240x240 px.
FLAIR magnetic resonance.
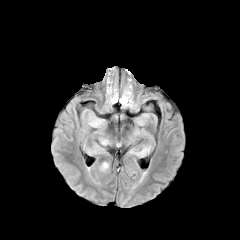
T1-weighted MRI.
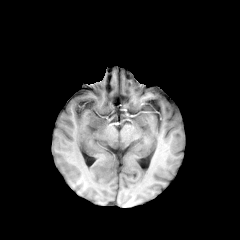
Post-contrast T1-weighted MRI.
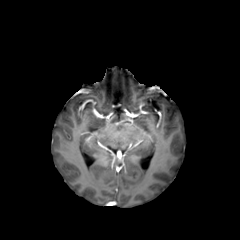
T2-weighted MR.
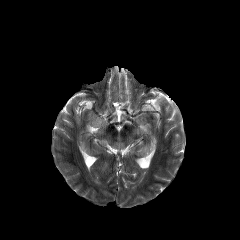
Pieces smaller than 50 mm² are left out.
peritumoral edema — [x1=101, y1=162, x2=108, y2=170]